Axial slice | Slice index 92
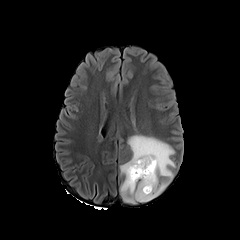
FLAIR MR.
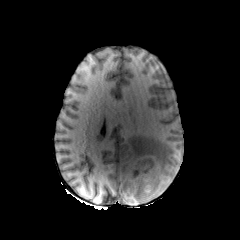
Same slice, T1-weighted MR.
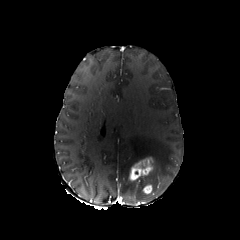
Post-contrast T1-weighted MR.
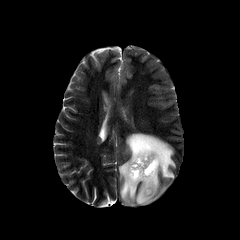
Same slice, T2-weighted MRI.
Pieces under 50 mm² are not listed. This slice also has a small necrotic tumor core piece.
2 enhancing tumor regions are bounded by <box>128,157,153,181</box>, <box>142,184,152,194</box>. The peritumoral edema is located at <box>119,134,175,204</box>.